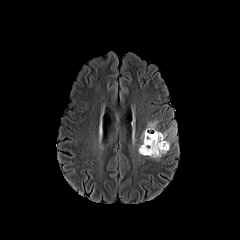
FLAIR MRI.
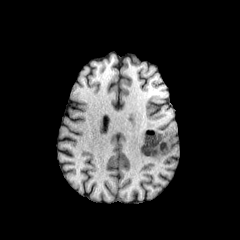
T1-weighted MR image of the same slice.
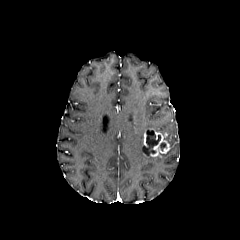
Post-contrast T1-weighted MR.
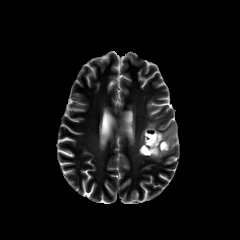
T2-weighted MRI.
Brain. 240x240. Axial view.
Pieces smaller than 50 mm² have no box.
peritumoral edema — (161, 123, 176, 145), (146, 121, 159, 131), (138, 130, 144, 154)
enhancing tumor — (141, 128, 169, 157)
necrotic tumor core — (143, 130, 160, 155)